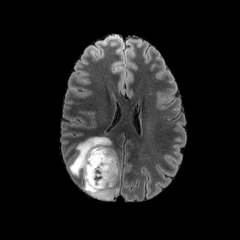
FLAIR MR.
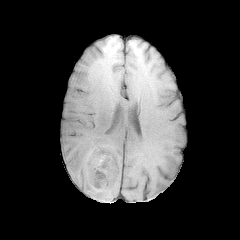
T1-weighted MRI.
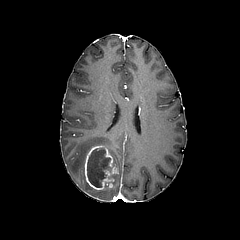
Same slice, post-contrast T1-weighted MR image.
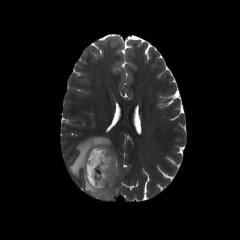
T2-weighted magnetic resonance.
240x240; Brain; Axial view
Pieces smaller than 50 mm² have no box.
{
  "enhancing_tumor": [
    {"x1": 84, "y1": 145, "x2": 117, "y2": 190}
  ],
  "necrotic_tumor_core": [
    {"x1": 87, "y1": 148, "x2": 111, "y2": 187}
  ],
  "peritumoral_edema": [
    {"x1": 69, "y1": 137, "x2": 119, "y2": 200}
  ]
}